Brain, Axial slice, Image width 240 mm, Slice 94/155
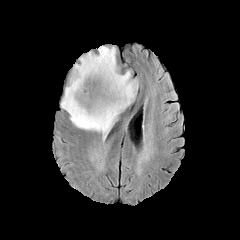
FLAIR magnetic resonance.
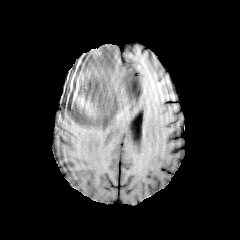
T1-weighted magnetic resonance.
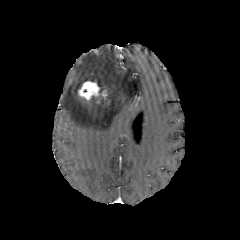
Post-contrast T1-weighted MR of the same slice.
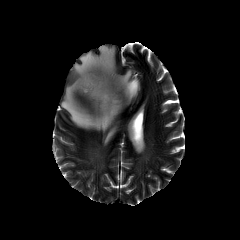
Same slice, T2-weighted MRI.
Segmented structures:
* peritumoral edema: (61,45,139,137)
* enhancing tumor: (78,79,110,104)